FLAIR MR.
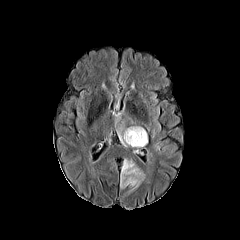
T1-weighted MRI.
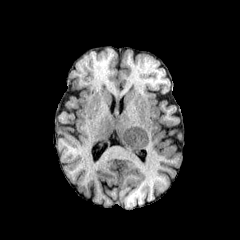
Post-contrast T1-weighted MR image.
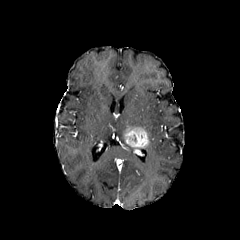
T2-weighted MR.
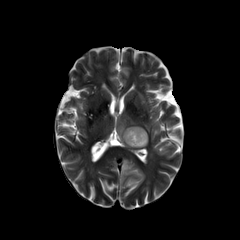
Head | 240x240 px
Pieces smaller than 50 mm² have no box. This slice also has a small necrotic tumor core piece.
enhancing tumor: [x1=124, y1=127, x2=148, y2=147] | peritumoral edema: [x1=120, y1=157, x2=145, y2=197], [x1=117, y1=127, x2=126, y2=145]